Brain; Slice 77/155; 240x240
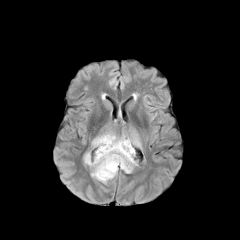
FLAIR MR.
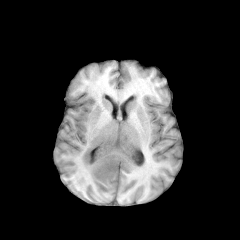
T1-weighted MRI.
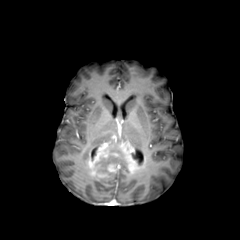
Post-contrast T1-weighted MR image of the same slice.
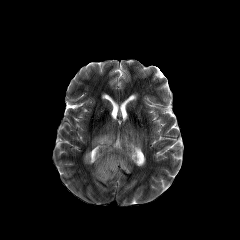
T2-weighted MR image.
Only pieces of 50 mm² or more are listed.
necrotic tumor core: (x1=95, y1=145, x2=127, y2=172)
peritumoral edema: (x1=92, y1=133, x2=114, y2=147), (x1=94, y1=171, x2=117, y2=183), (x1=84, y1=152, x2=90, y2=164), (x1=117, y1=136, x2=141, y2=148)
enhancing tumor: (x1=88, y1=135, x2=137, y2=178)